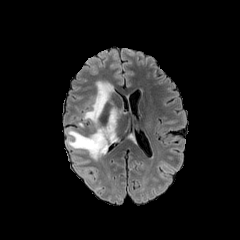
FLAIR magnetic resonance.
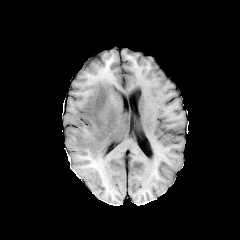
Same slice, T1-weighted magnetic resonance.
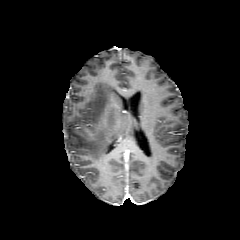
Same slice, post-contrast T1-weighted MR image.
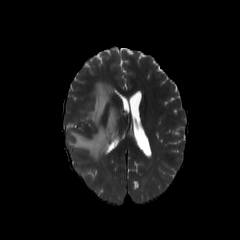
T2-weighted MR image.
Axial plane
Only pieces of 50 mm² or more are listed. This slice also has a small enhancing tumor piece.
peritumoral_edema:
  - box=[66, 81, 119, 160]
  - box=[74, 157, 88, 163]